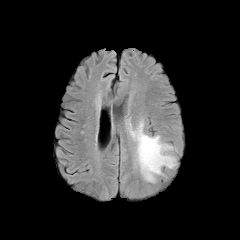
FLAIR MR.
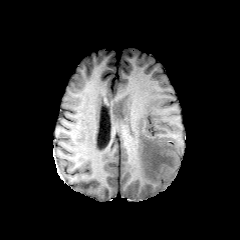
Same slice, T1-weighted MRI.
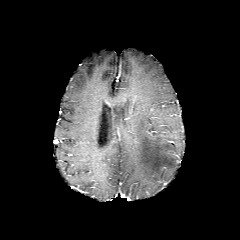
Post-contrast T1-weighted MR.
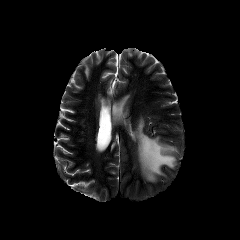
Same slice, T2-weighted MR image.
Brain. Axial slice.
<segmentation>
  <peritumoral_edema>129, 119, 176, 182</peritumoral_edema>
</segmentation>